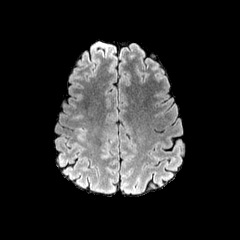
FLAIR MR image.
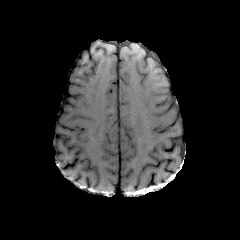
Same slice, T1-weighted MRI.
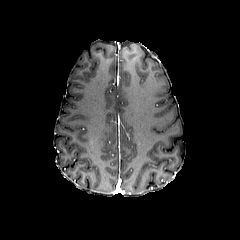
Same slice, post-contrast T1-weighted MR.
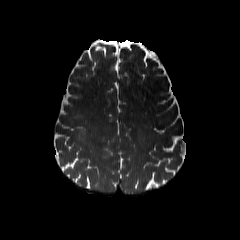
T2-weighted MR image.
Axial view.
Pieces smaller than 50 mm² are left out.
The largest peritumoral edema region is bounded by (101, 137, 111, 158).